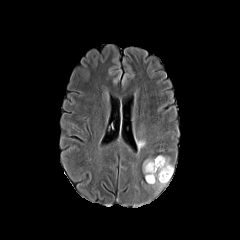
FLAIR MRI.
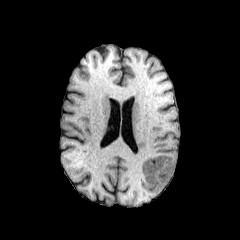
T1-weighted MRI of the same slice.
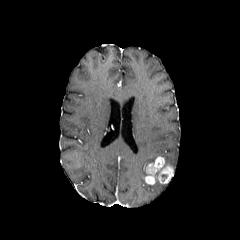
Same slice, post-contrast T1-weighted MR.
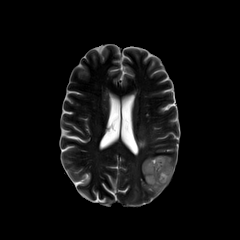
T2-weighted magnetic resonance.
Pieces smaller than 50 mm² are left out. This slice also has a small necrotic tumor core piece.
peritumoral edema: 137,140,145,150; 149,180,166,194; 159,155,173,167; 142,158,155,175 | enhancing tumor: 145,156,173,184